FLAIR MR image.
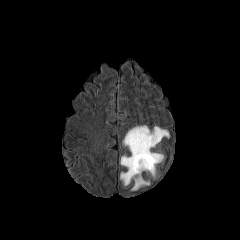
T1-weighted MR.
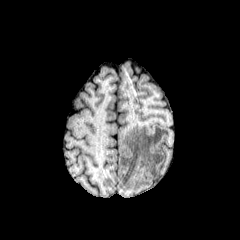
Post-contrast T1-weighted magnetic resonance.
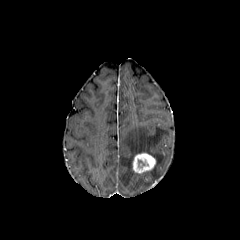
T2-weighted MR.
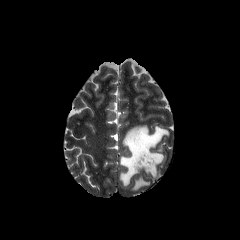
Axial plane.
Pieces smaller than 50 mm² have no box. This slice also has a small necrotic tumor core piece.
Annotated regions:
* peritumoral edema: <box>148,166,156,180</box>, <box>120,125,170,191</box>
* enhancing tumor: <box>132,153,155,173</box>